FLAIR magnetic resonance.
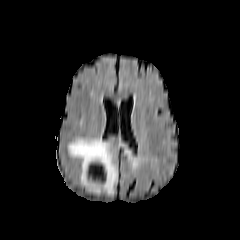
T1-weighted MR.
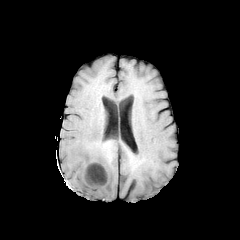
Post-contrast T1-weighted MR image.
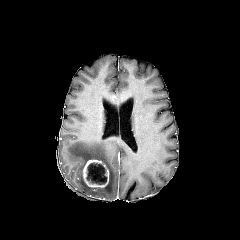
T2-weighted MR.
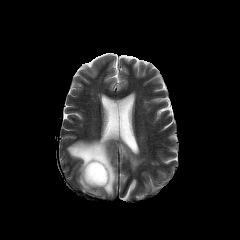
Brain; 240x240
enhancing_tumor:
  - l=83, t=160, r=109, b=187
peritumoral_edema:
  - l=68, t=137, r=130, b=195
necrotic_tumor_core:
  - l=86, t=163, r=106, b=184